240x240, Image width 240 mm, 1.00 mm slice spacing, Slice 109/155
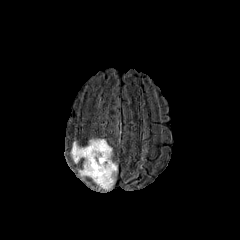
FLAIR MR.
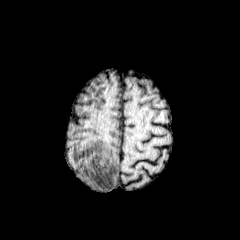
T1-weighted MRI.
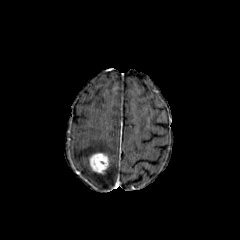
Same slice, post-contrast T1-weighted MRI.
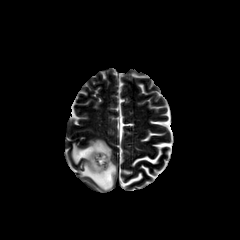
T2-weighted MRI.
peritumoral edema: bounding box {"x1": 71, "y1": 139, "x2": 117, "y2": 189}
enhancing tumor: bounding box {"x1": 89, "y1": 152, "x2": 109, "y2": 173}